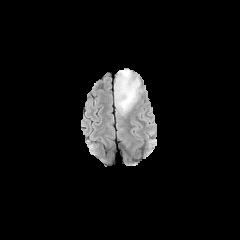
FLAIR magnetic resonance.
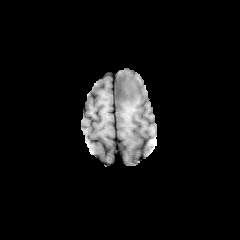
T1-weighted MR.
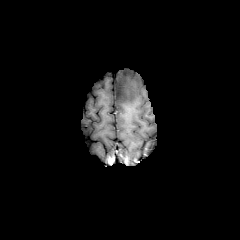
Post-contrast T1-weighted MR image of the same slice.
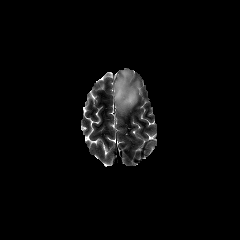
T2-weighted magnetic resonance.
Axial view
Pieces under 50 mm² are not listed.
The necrotic tumor core is located at 115 70 135 101. The largest peritumoral edema region appears at 115 70 140 113.